Axial plane. Image size 240x240.
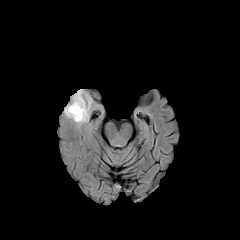
FLAIR MR.
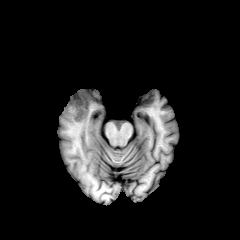
T1-weighted magnetic resonance.
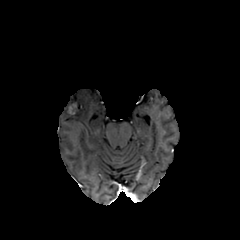
Post-contrast T1-weighted MR image.
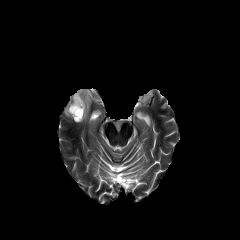
T2-weighted MRI of the same slice.
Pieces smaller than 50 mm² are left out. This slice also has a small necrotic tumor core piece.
enhancing tumor at box(68, 102, 79, 115)
peritumoral edema at box(64, 89, 92, 123)